Axial view; Brain; Slice 78/155; Image covers 240 mm x 240 mm
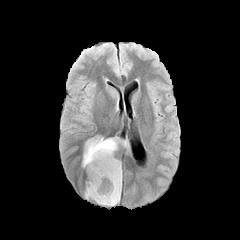
FLAIR MR image.
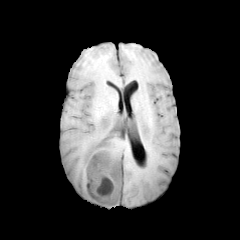
T1-weighted MRI of the same slice.
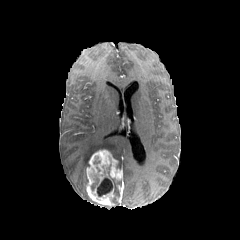
Same slice, post-contrast T1-weighted MR image.
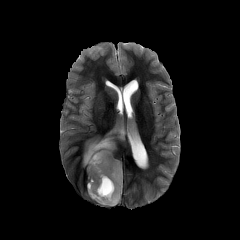
T2-weighted MR image.
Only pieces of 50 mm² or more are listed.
<segmentation>
  <necrotic_tumor_core><box>97,177,112,196</box></necrotic_tumor_core>
  <peritumoral_edema><box>82,135,129,166</box></peritumoral_edema>
  <enhancing_tumor><box>86,149,122,206</box></enhancing_tumor>
</segmentation>